FLAIR magnetic resonance.
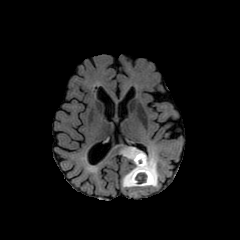
T1-weighted MR image.
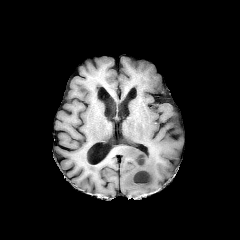
Post-contrast T1-weighted magnetic resonance.
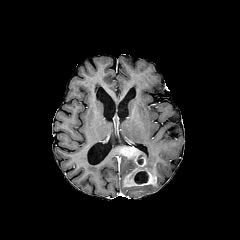
T2-weighted MR.
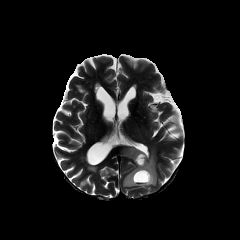
Axial plane, Head
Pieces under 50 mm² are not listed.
{
  "peritumoral_edema": [
    "rect(122, 154, 159, 187)"
  ],
  "enhancing_tumor": [
    "rect(121, 147, 156, 186)"
  ],
  "necrotic_tumor_core": [
    "rect(134, 171, 148, 183)"
  ]
}